Slice 64/155
FLAIR MR.
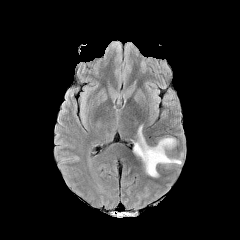
T1-weighted MR.
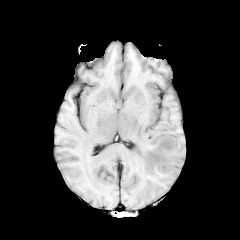
Post-contrast T1-weighted MR image.
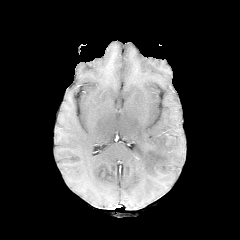
T2-weighted MRI.
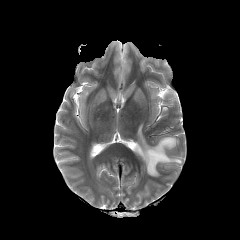
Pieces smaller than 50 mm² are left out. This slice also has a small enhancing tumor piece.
The peritumoral edema appears at box=[133, 125, 181, 176].